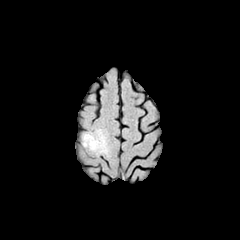
FLAIR magnetic resonance.
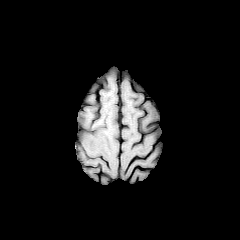
T1-weighted MR.
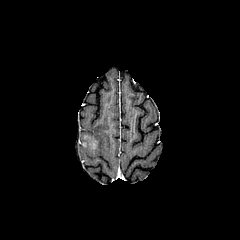
Post-contrast T1-weighted MR image of the same slice.
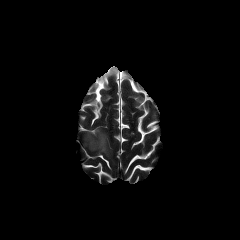
T2-weighted MR.
Axial slice
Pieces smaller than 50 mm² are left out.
Segmented structures:
* peritumoral edema: region(77, 128, 110, 159)
* enhancing tumor: region(83, 135, 98, 150)